FLAIR MR.
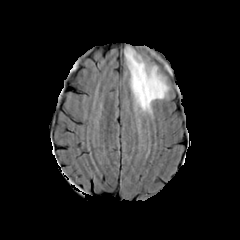
T1-weighted MR.
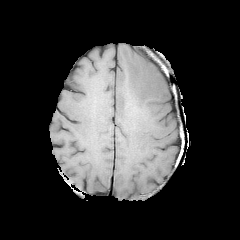
Post-contrast T1-weighted MR image.
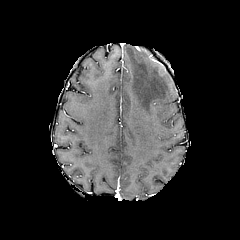
T2-weighted MRI.
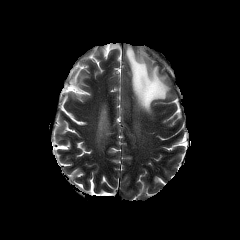
Brain
peritumoral_edema:
  - [x1=124, y1=46, x2=169, y2=115]